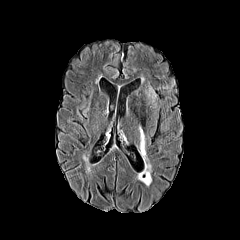
FLAIR MR.
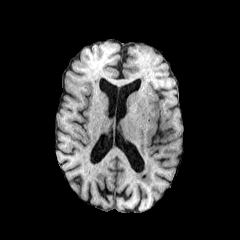
T1-weighted MRI of the same slice.
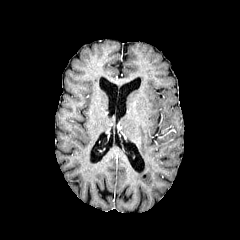
Post-contrast T1-weighted MR image.
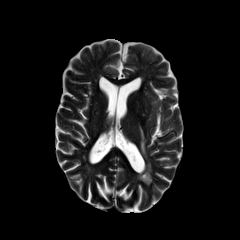
T2-weighted magnetic resonance of the same slice.
Brain
<segmentation>
  <peritumoral_edema><box>139,127,146,161</box></peritumoral_edema>
</segmentation>